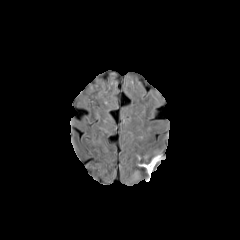
FLAIR MR.
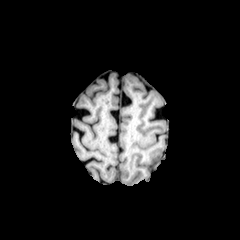
T1-weighted MR image.
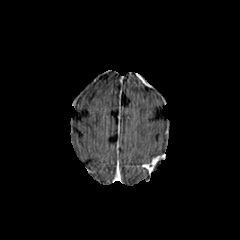
Post-contrast T1-weighted MR of the same slice.
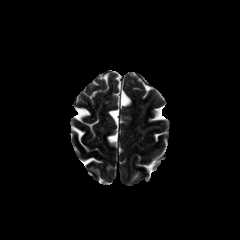
Same slice, T2-weighted MR image.
Brain; 240x240
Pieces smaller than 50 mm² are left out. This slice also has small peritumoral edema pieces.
Segmented structures:
- enhancing tumor: l=142, t=155, r=163, b=173